Image covers 240 mm x 240 mm, Brain, Axial view, Slice 96 of 155
FLAIR MRI.
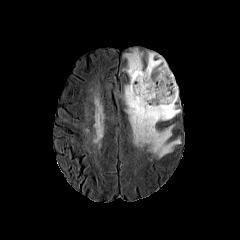
T1-weighted MR.
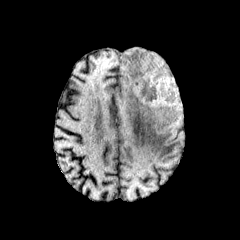
Post-contrast T1-weighted magnetic resonance.
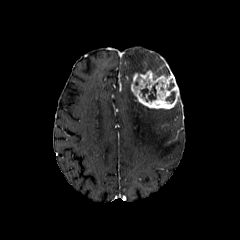
T2-weighted MRI.
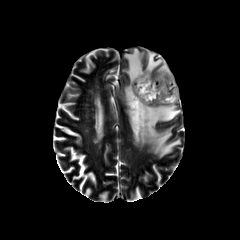
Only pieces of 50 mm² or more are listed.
- necrotic tumor core: box=[166, 92, 175, 102]; box=[148, 83, 157, 100]
- peritumoral edema: box=[123, 48, 181, 158]
- enhancing tumor: box=[131, 70, 179, 109]